FLAIR MR.
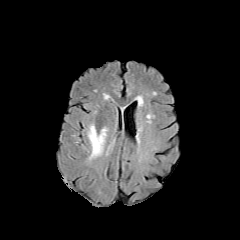
T1-weighted MR image.
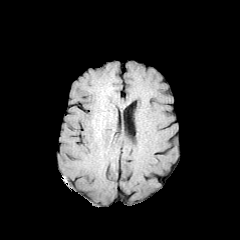
Post-contrast T1-weighted magnetic resonance.
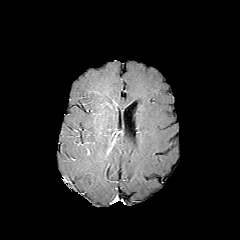
T2-weighted magnetic resonance.
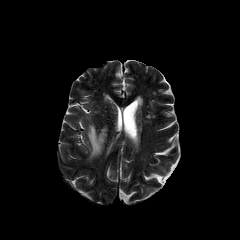
Head | Image size 240x240 | Axial plane
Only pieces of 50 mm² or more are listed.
Annotated regions:
* peritumoral edema: l=87, t=123, r=107, b=160